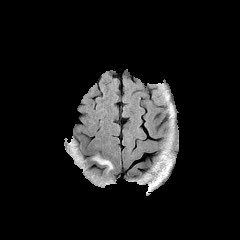
FLAIR magnetic resonance.
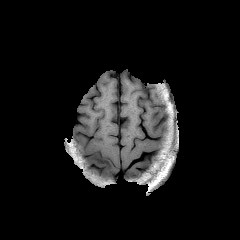
T1-weighted MR image of the same slice.
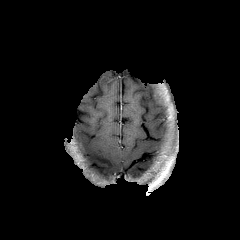
Post-contrast T1-weighted MR.
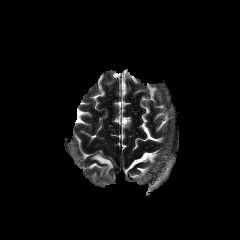
T2-weighted MRI.
Head.
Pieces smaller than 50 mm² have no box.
The largest peritumoral edema region is bounded by box(92, 154, 113, 176).